FLAIR MRI.
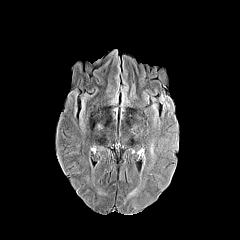
T1-weighted MRI.
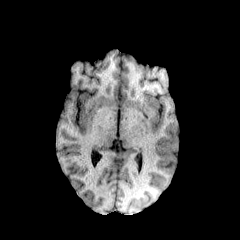
Post-contrast T1-weighted MRI.
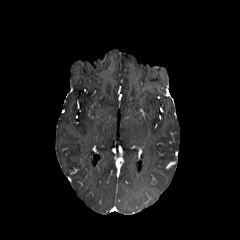
T2-weighted MRI.
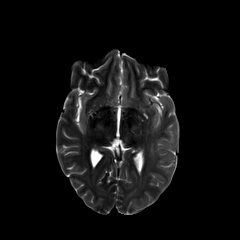
Head
The peritumoral edema lies within 150,140,155,159.